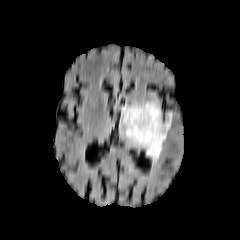
FLAIR magnetic resonance.
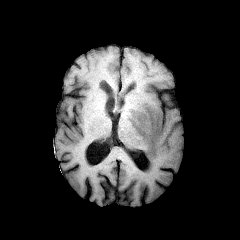
Same slice, T1-weighted MRI.
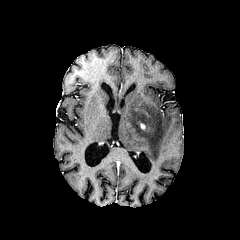
Post-contrast T1-weighted magnetic resonance.
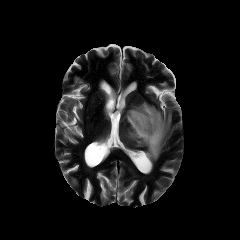
T2-weighted magnetic resonance of the same slice.
Brain
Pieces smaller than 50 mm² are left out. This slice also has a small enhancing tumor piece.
• peritumoral edema: bbox=[122, 101, 172, 161]